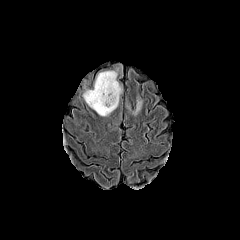
FLAIR MR.
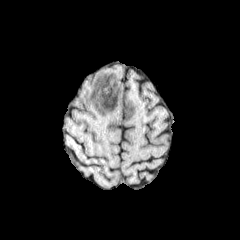
T1-weighted MR.
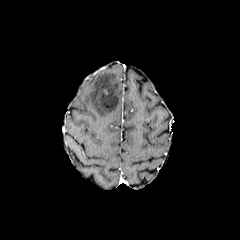
Post-contrast T1-weighted MR image.
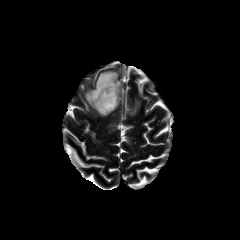
Same slice, T2-weighted MRI.
{
  "peritumoral_edema": [
    "region(133, 99, 141, 114)",
    "region(83, 71, 121, 116)"
  ]
}